240x240 | Axial view | Head
FLAIR magnetic resonance.
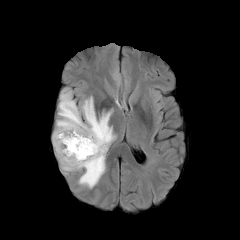
T1-weighted MR image.
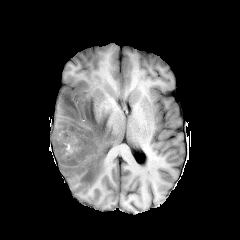
Post-contrast T1-weighted MR.
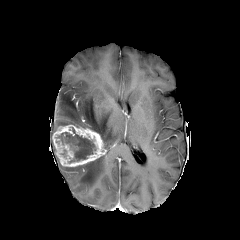
T2-weighted magnetic resonance.
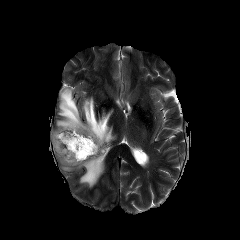
The enhancing tumor is at [x1=52, y1=124, x2=105, y2=166]. The necrotic tumor core is bounded by [x1=64, y1=134, x2=94, y2=160]. 2 peritumoral edema regions appear at [x1=56, y1=88, x2=116, y2=148], [x1=61, y1=156, x2=106, y2=188].